Image size 240x240; Brain; Slice index 80
FLAIR magnetic resonance.
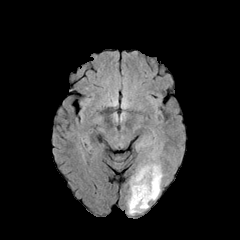
T1-weighted MR image.
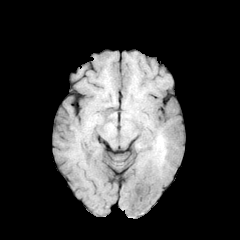
Post-contrast T1-weighted MRI.
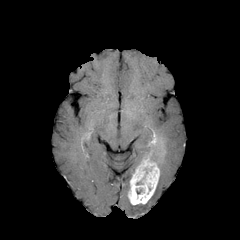
T2-weighted MRI.
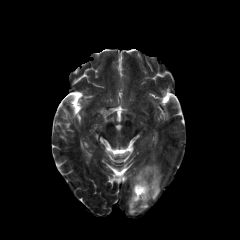
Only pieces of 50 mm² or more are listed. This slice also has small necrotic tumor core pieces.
enhancing_tumor:
  - [x1=128, y1=159, x2=159, y2=205]
peritumoral_edema:
  - [x1=127, y1=198, x2=148, y2=214]
  - [x1=149, y1=164, x2=162, y2=200]